Brain, Axial slice, Slice 58/155
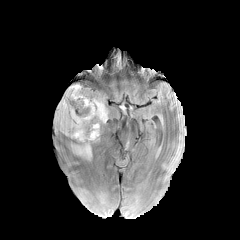
FLAIR magnetic resonance.
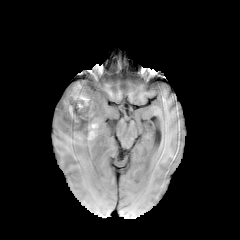
T1-weighted MRI of the same slice.
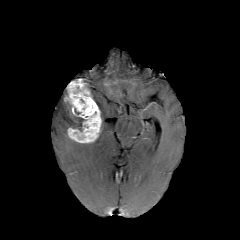
Post-contrast T1-weighted MRI of the same slice.
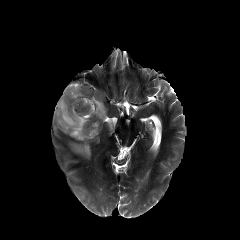
T2-weighted MR image of the same slice.
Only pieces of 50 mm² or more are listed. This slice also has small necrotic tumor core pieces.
The enhancing tumor is located at rect(64, 82, 102, 142). The 3 largest peritumoral edema regions are bounded by rect(93, 97, 107, 122); rect(71, 143, 91, 158); rect(56, 98, 84, 134).